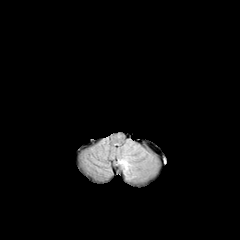
FLAIR MR.
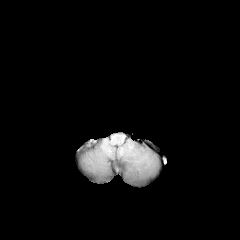
Same slice, T1-weighted MR image.
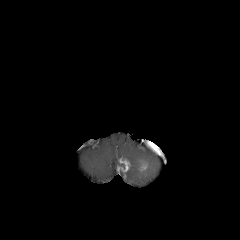
Post-contrast T1-weighted magnetic resonance.
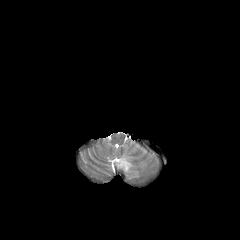
T2-weighted MR image.
240x240 px, Head
<segmentation>
  <enhancing_tumor>(left=118, top=158, right=130, bottom=172), (left=140, top=161, right=147, bottom=171)</enhancing_tumor>
  <peritumoral_edema>(left=116, top=140, right=156, bottom=180)</peritumoral_edema>
</segmentation>